240x240 px; Brain; Axial plane; Slice index 96
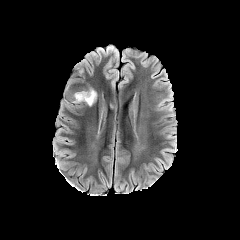
FLAIR MR.
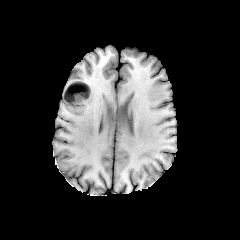
Same slice, T1-weighted MRI.
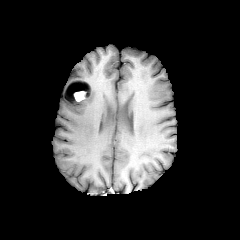
Post-contrast T1-weighted MRI.
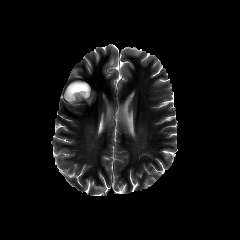
T2-weighted magnetic resonance.
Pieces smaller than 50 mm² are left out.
peritumoral edema: rect(65, 89, 96, 105) | enhancing tumor: rect(74, 83, 91, 101); rect(64, 79, 87, 103) | necrotic tumor core: rect(66, 81, 89, 99)